Image width 240 mm, 1.00 mm slice spacing, Slice index 62
FLAIR MR.
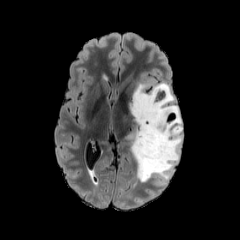
T1-weighted MR.
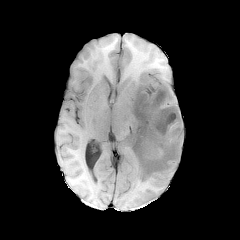
Post-contrast T1-weighted MR.
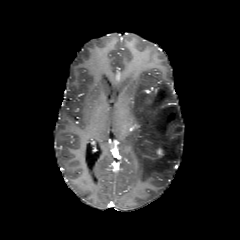
T2-weighted MR image.
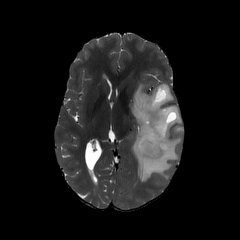
Segmented structures:
* peritumoral edema: <bbox>129, 82, 182, 182</bbox>
* enhancing tumor: <bbox>142, 148, 163, 159</bbox>